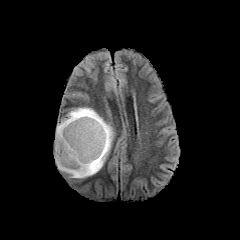
FLAIR MR.
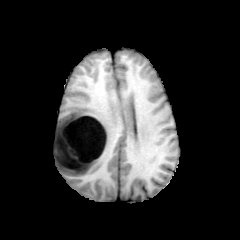
T1-weighted magnetic resonance.
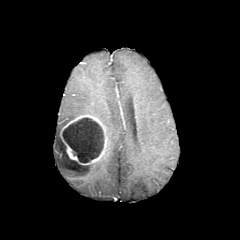
Post-contrast T1-weighted MR.
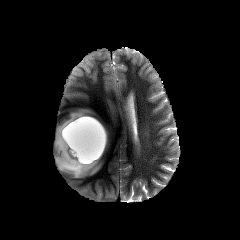
T2-weighted MR image.
Brain
The peritumoral edema is bounded by l=54, t=107, r=113, b=178. The necrotic tumor core is bounded by l=62, t=117, r=104, b=163. The enhancing tumor is located at l=60, t=115, r=107, b=164.